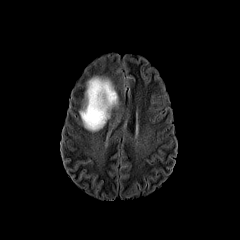
FLAIR MR image.
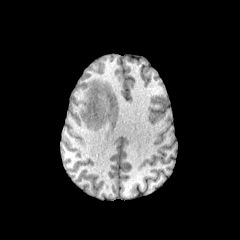
T1-weighted MR.
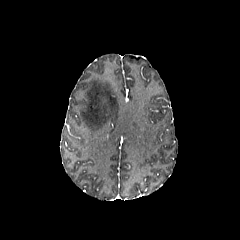
Post-contrast T1-weighted MR image.
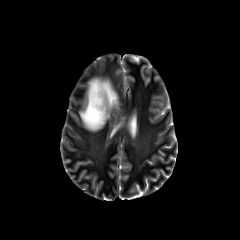
T2-weighted MRI.
Head; Image size 240x240
Segmented structures:
• peritumoral edema: (79,75,118,132)